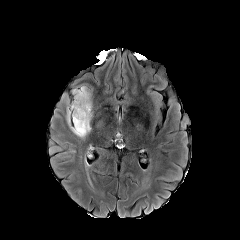
FLAIR MR.
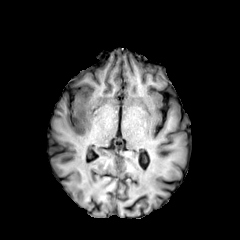
T1-weighted magnetic resonance.
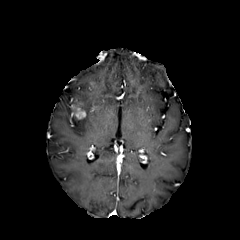
Post-contrast T1-weighted magnetic resonance of the same slice.
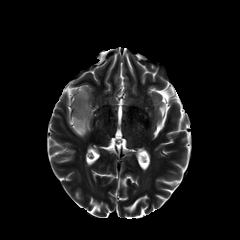
T2-weighted MRI of the same slice.
The enhancing tumor is bounded by box=[71, 104, 85, 119]. The peritumoral edema appears at box=[66, 85, 92, 137].